Brain; Slice index 127
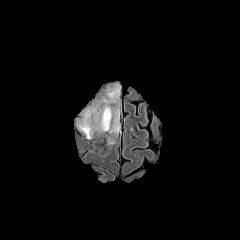
FLAIR MRI.
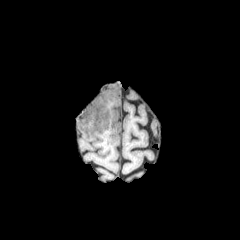
T1-weighted MR image.
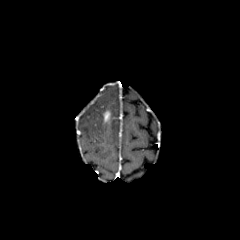
Post-contrast T1-weighted MRI.
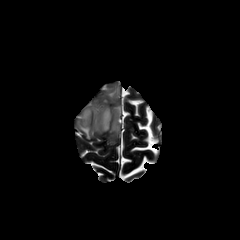
Same slice, T2-weighted MR.
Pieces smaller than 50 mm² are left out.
peritumoral edema: (76,85,120,139) | enhancing tumor: (103,110,110,123)